FLAIR magnetic resonance.
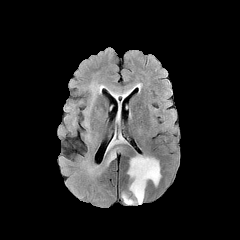
T1-weighted MR.
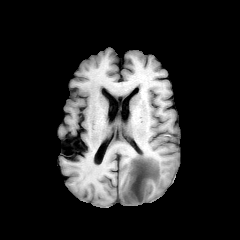
Post-contrast T1-weighted magnetic resonance.
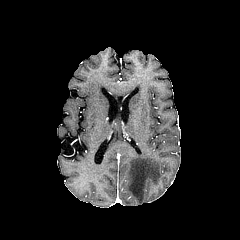
T2-weighted MR image.
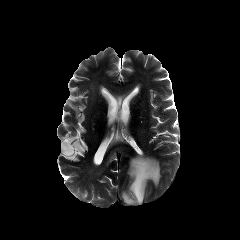
Brain
* peritumoral edema: (left=108, top=136, right=123, bottom=149), (left=122, top=155, right=161, bottom=204), (left=106, top=150, right=116, bottom=166)